FLAIR magnetic resonance.
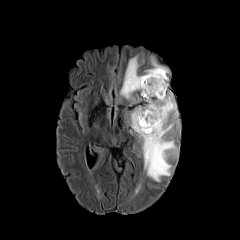
T1-weighted MR.
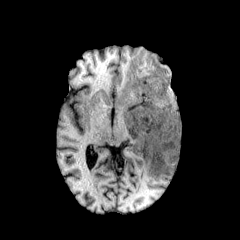
Post-contrast T1-weighted MR.
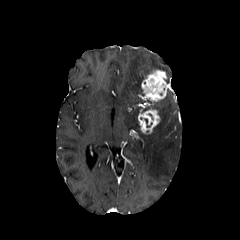
T2-weighted magnetic resonance.
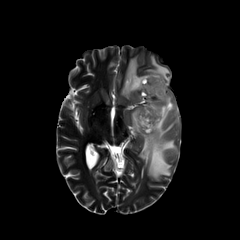
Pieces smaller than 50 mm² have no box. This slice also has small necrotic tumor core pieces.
<segmentation>
  <peritumoral_edema>(x1=130, y1=91, x2=179, y2=181), (x1=120, y1=56, x2=169, y2=100)</peritumoral_edema>
  <enhancing_tumor>(x1=141, y1=69, x2=168, y2=102), (x1=137, y1=105, x2=160, y2=134)</enhancing_tumor>
</segmentation>